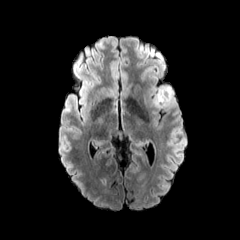
FLAIR magnetic resonance.
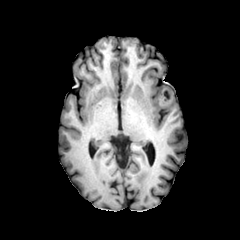
T1-weighted MR.
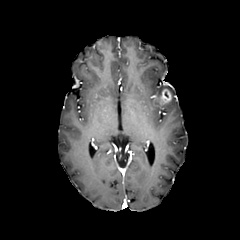
Post-contrast T1-weighted MRI of the same slice.
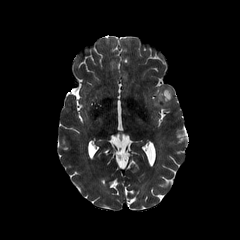
T2-weighted MR image of the same slice.
Image size 240x240, Axial view, Head
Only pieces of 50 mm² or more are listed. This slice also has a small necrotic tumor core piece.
The largest peritumoral edema region is bounded by [154, 86, 172, 104]. The enhancing tumor appears at [159, 89, 172, 103].